Axial view. Head. Slice 138 of 155.
FLAIR magnetic resonance.
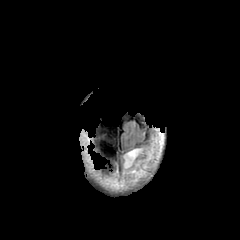
T1-weighted MR.
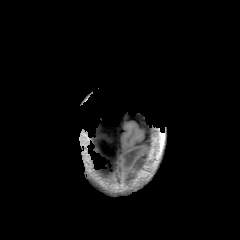
Post-contrast T1-weighted MR.
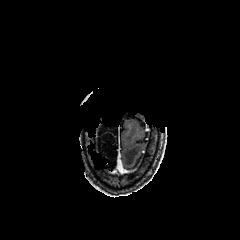
T2-weighted magnetic resonance.
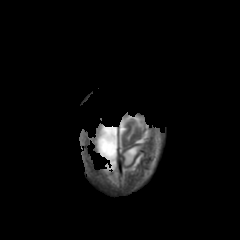
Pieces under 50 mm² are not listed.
Annotated regions:
• peritumoral edema: rect(123, 147, 143, 174)